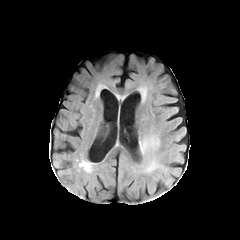
FLAIR magnetic resonance.
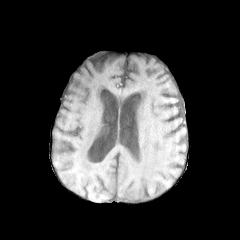
T1-weighted MRI of the same slice.
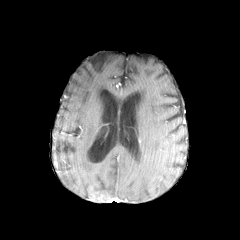
Post-contrast T1-weighted MRI.
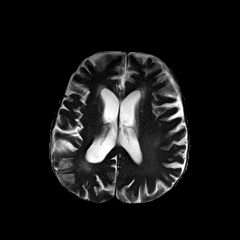
T2-weighted MRI.
Brain
The peritumoral edema is at <bbox>141, 139, 158, 152</bbox>.